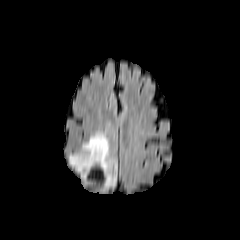
FLAIR magnetic resonance.
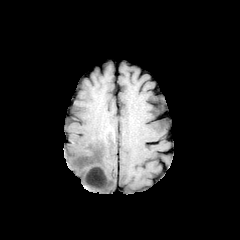
Same slice, T1-weighted MRI.
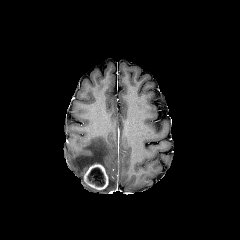
Post-contrast T1-weighted MR image of the same slice.
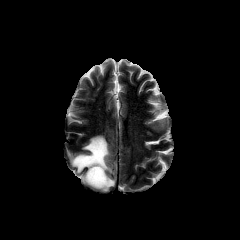
T2-weighted MR image.
Axial plane. Head. Image size 240x240.
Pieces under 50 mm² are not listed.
Findings:
* necrotic tumor core: 87,167,104,186
* enhancing tumor: 83,163,108,189
* peritumoral edema: 68,133,116,191